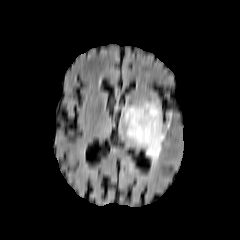
FLAIR MR image.
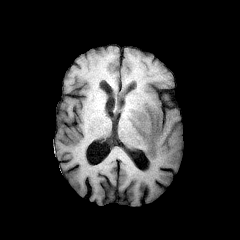
Same slice, T1-weighted MRI.
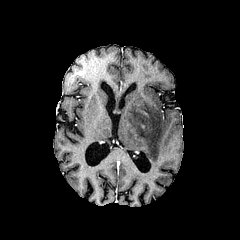
Post-contrast T1-weighted MR of the same slice.
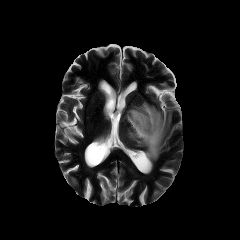
T2-weighted magnetic resonance of the same slice.
Axial slice.
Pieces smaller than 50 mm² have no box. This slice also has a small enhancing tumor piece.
* peritumoral edema: (124,101,171,162)